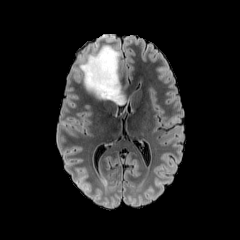
FLAIR MR.
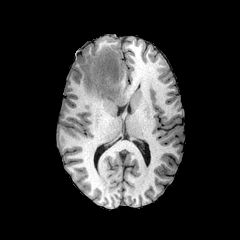
Same slice, T1-weighted MRI.
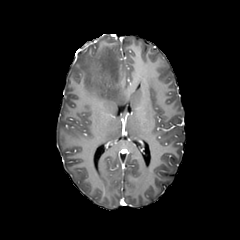
Post-contrast T1-weighted MR image.
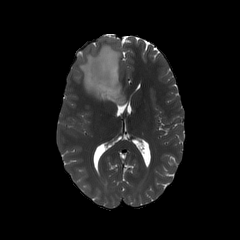
Same slice, T2-weighted MR.
240x240; Head
peritumoral edema: bounding box bbox(79, 45, 125, 105)